Axial plane. Image size 240x240.
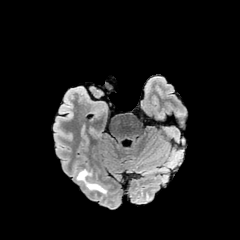
FLAIR MRI.
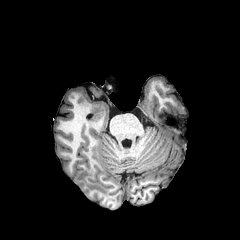
Same slice, T1-weighted MR image.
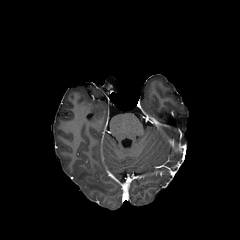
Post-contrast T1-weighted MRI.
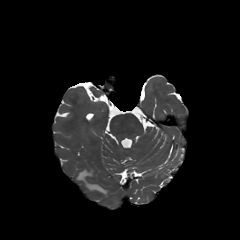
T2-weighted magnetic resonance of the same slice.
peritumoral edema: [76,169,108,194]